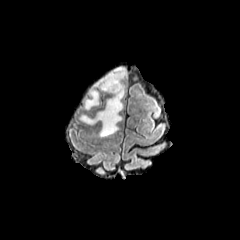
FLAIR magnetic resonance.
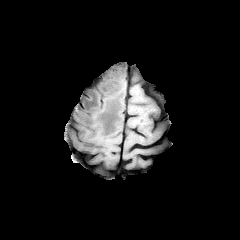
T1-weighted magnetic resonance.
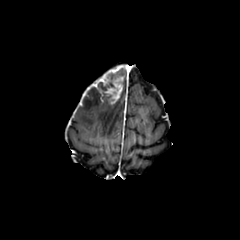
Post-contrast T1-weighted magnetic resonance.
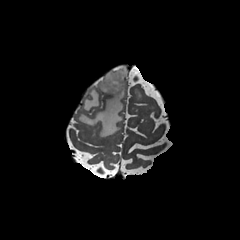
T2-weighted magnetic resonance of the same slice.
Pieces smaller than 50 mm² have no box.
The largest necrotic tumor core region is at bbox(98, 82, 114, 90). 2 peritumoral edema regions are bounded by bbox(79, 67, 127, 136); bbox(83, 86, 100, 110). The enhancing tumor is located at bbox(92, 65, 124, 104).